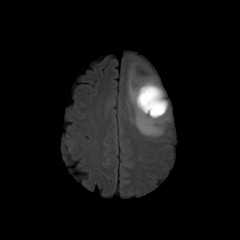
FLAIR MR.
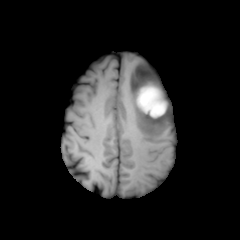
T1-weighted magnetic resonance.
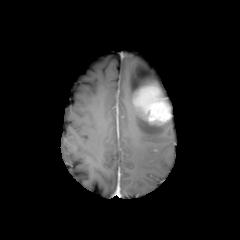
Post-contrast T1-weighted magnetic resonance.
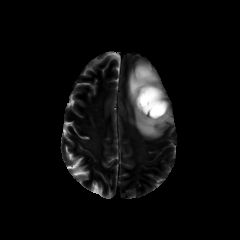
T2-weighted MR image.
Axial slice | Head
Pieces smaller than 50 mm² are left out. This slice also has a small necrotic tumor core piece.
Annotated regions:
• enhancing tumor: {"x1": 133, "y1": 83, "x2": 171, "y2": 125}
• peritumoral edema: {"x1": 127, "y1": 61, "x2": 168, "y2": 137}